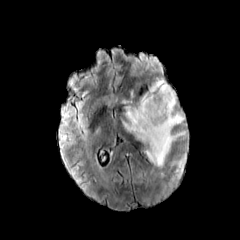
FLAIR MR.
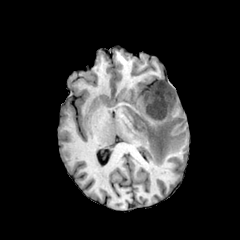
Same slice, T1-weighted MR image.
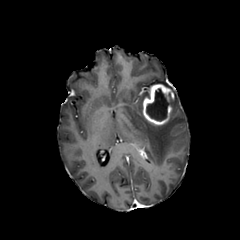
Post-contrast T1-weighted MR of the same slice.
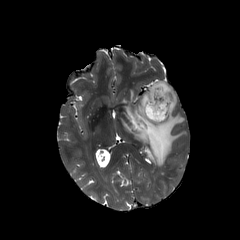
T2-weighted MR image.
240x240 px | Axial plane | Head
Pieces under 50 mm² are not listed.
peritumoral_edema:
  - x1=122 y1=92 x2=185 y2=166
enhancing_tumor:
  - x1=142 y1=84 x2=174 y2=125
necrotic_tumor_core:
  - x1=146 y1=89 x2=169 y2=120